Axial slice
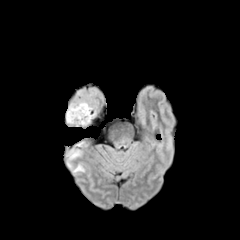
FLAIR MRI.
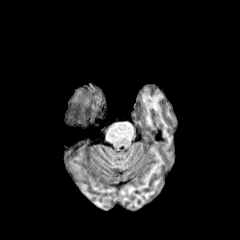
T1-weighted MRI.
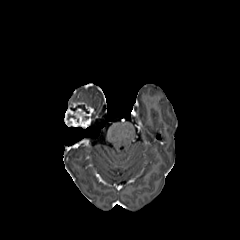
Post-contrast T1-weighted MR of the same slice.
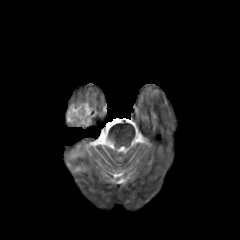
Same slice, T2-weighted MR.
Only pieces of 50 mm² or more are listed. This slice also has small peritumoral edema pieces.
Annotated regions:
* necrotic tumor core: box(70, 105, 89, 113)
* enhancing tumor: box(65, 102, 95, 126)